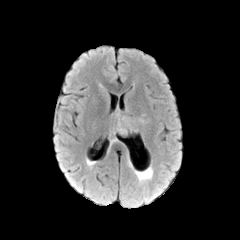
FLAIR MR.
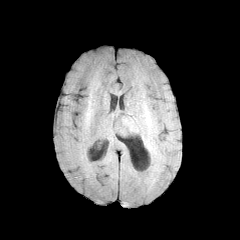
T1-weighted magnetic resonance.
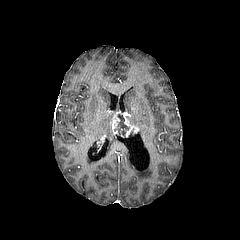
Post-contrast T1-weighted MR image.
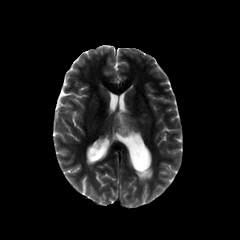
Same slice, T2-weighted magnetic resonance.
240x240 px
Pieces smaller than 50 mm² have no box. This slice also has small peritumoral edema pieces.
The largest necrotic tumor core region appears at <box>114,114,129,134</box>. The largest enhancing tumor region is bounded by <box>112,111,138,136</box>.